Image size 240x240
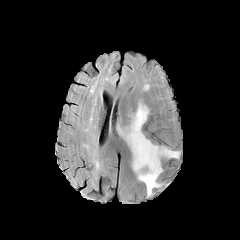
FLAIR MRI.
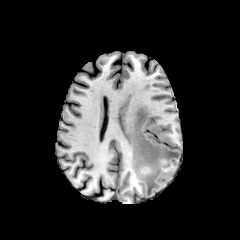
T1-weighted MR of the same slice.
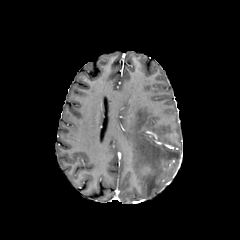
Post-contrast T1-weighted magnetic resonance.
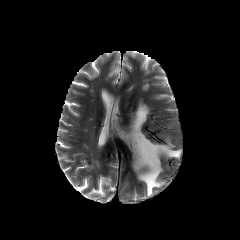
T2-weighted MRI.
{
  "peritumoral_edema": [
    "[117, 102, 180, 196]"
  ]
}